Axial slice. Image width 240 mm, 1.00 mm slice spacing.
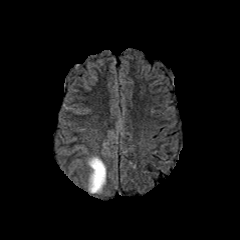
FLAIR MR.
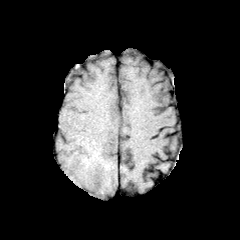
T1-weighted MRI of the same slice.
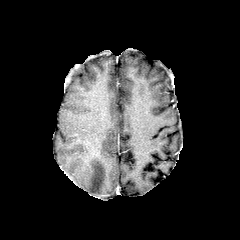
Post-contrast T1-weighted MRI.
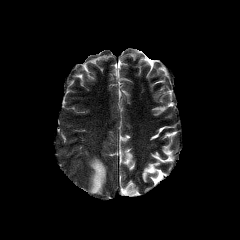
T2-weighted MR.
peritumoral edema: [89, 157, 106, 193]